FLAIR MR image.
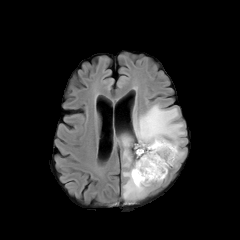
T1-weighted MRI.
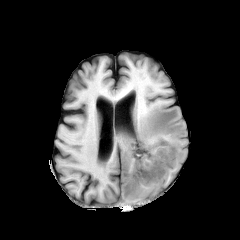
Post-contrast T1-weighted magnetic resonance.
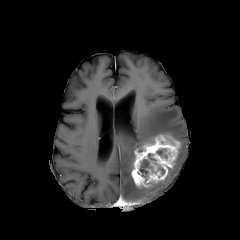
T2-weighted magnetic resonance.
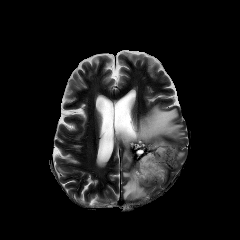
Head, 240x240 px
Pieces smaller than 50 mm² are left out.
peritumoral_edema:
  - box=[121, 135, 132, 167]
  - box=[133, 105, 185, 148]
  - box=[174, 149, 184, 166]
  - box=[122, 167, 149, 200]
necrotic_tumor_core:
  - box=[140, 159, 149, 174]
enhancing_tumor:
  - box=[131, 134, 180, 187]